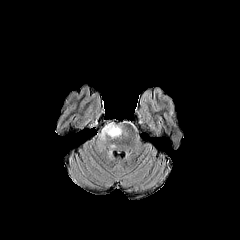
FLAIR MR image.
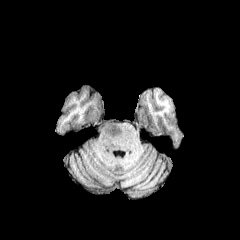
T1-weighted MR.
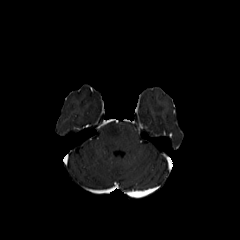
Post-contrast T1-weighted MRI.
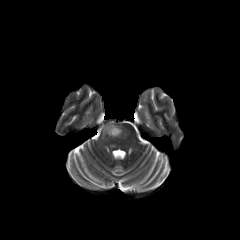
T2-weighted MRI.
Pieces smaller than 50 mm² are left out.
peritumoral_edema:
  - {"x1": 101, "y1": 123, "x2": 121, "y2": 139}